Axial plane, Slice 90 of 155, Brain
FLAIR magnetic resonance.
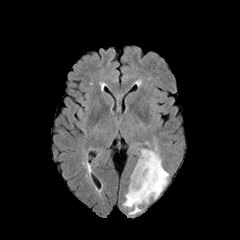
T1-weighted magnetic resonance.
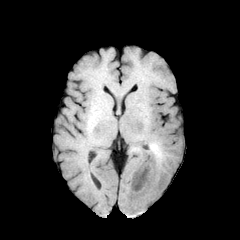
Post-contrast T1-weighted MRI.
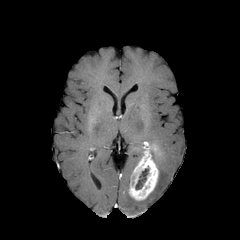
T2-weighted MR.
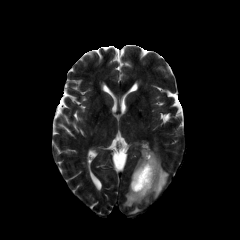
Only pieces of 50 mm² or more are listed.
• peritumoral edema: (123,146,168,214)
• enhancing tumor: (129,141,158,200)
• necrotic tumor core: (135,169,148,189)